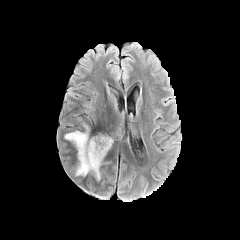
FLAIR MR.
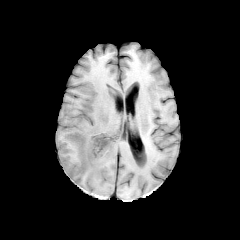
T1-weighted magnetic resonance of the same slice.
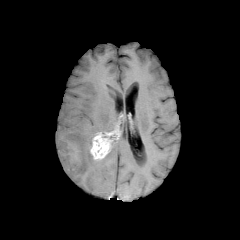
Same slice, post-contrast T1-weighted MR image.
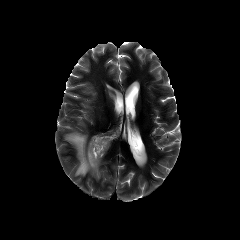
T2-weighted MR image.
240x240 px.
peritumoral edema: bbox=[64, 122, 101, 179]
enhancing tumor: bbox=[89, 132, 113, 160]